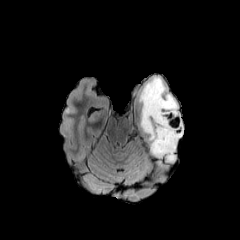
FLAIR magnetic resonance.
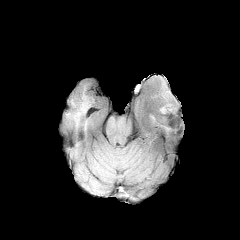
Same slice, T1-weighted magnetic resonance.
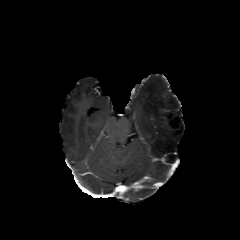
Post-contrast T1-weighted magnetic resonance of the same slice.
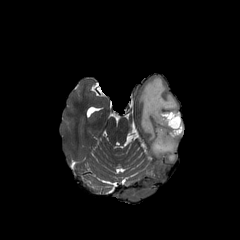
T2-weighted MR of the same slice.
240x240 px | Axial plane | Head
peritumoral edema: bounding box x1=139 y1=77 x2=183 y2=161